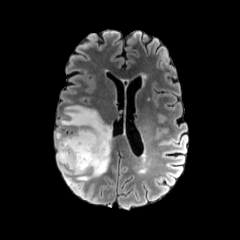
FLAIR MR image.
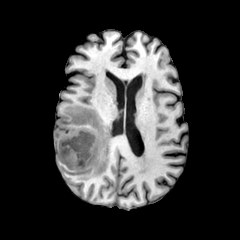
T1-weighted MR of the same slice.
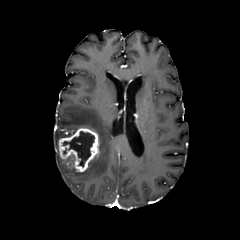
Same slice, post-contrast T1-weighted MRI.
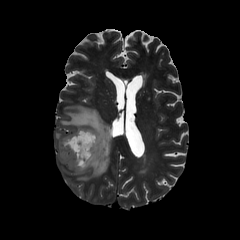
Same slice, T2-weighted MR image.
Head. Axial plane.
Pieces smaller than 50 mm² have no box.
enhancing tumor: 58,127,99,172 | peritumoral edema: 55,104,112,180 | necrotic tumor core: 63,131,94,166